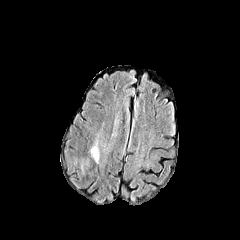
FLAIR MRI.
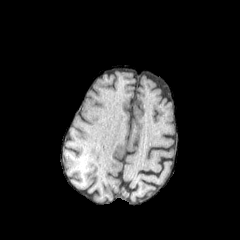
T1-weighted MRI.
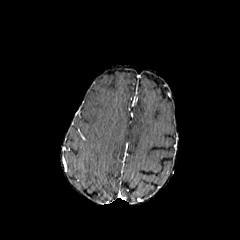
Same slice, post-contrast T1-weighted MRI.
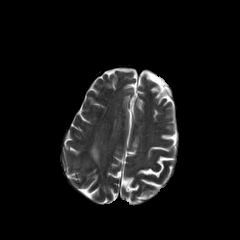
T2-weighted MR.
peritumoral edema: <bbox>90, 143, 99, 162</bbox>